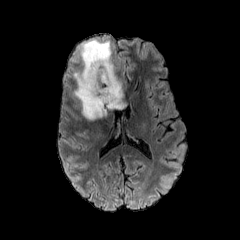
FLAIR MR.
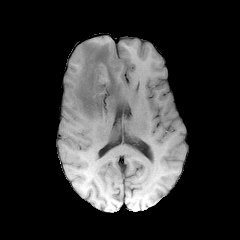
T1-weighted magnetic resonance.
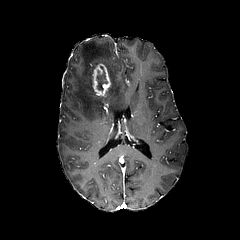
Same slice, post-contrast T1-weighted MR image.
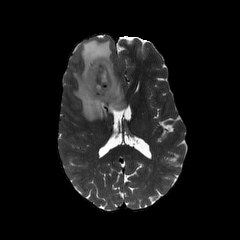
T2-weighted MR image of the same slice.
Axial view
<segmentation>
  <necrotic_tumor_core>box=[97, 67, 107, 90]</necrotic_tumor_core>
  <enhancing_tumor>box=[92, 63, 111, 97]</enhancing_tumor>
  <peritumoral_edema>box=[73, 39, 124, 120]</peritumoral_edema>
</segmentation>